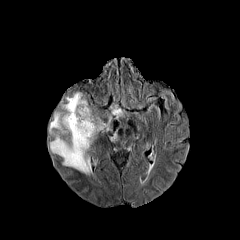
FLAIR MRI.
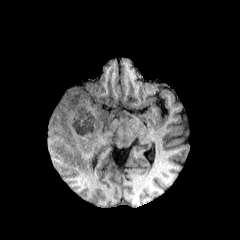
T1-weighted MR.
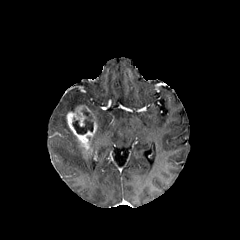
Post-contrast T1-weighted MR.
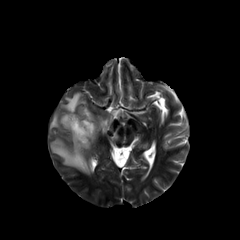
Same slice, T2-weighted MR.
240x240 px.
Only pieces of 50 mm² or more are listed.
enhancing tumor: [x1=66, y1=105, x2=97, y2=152] | necrotic tumor core: [x1=72, y1=109, x2=93, y2=134] | peritumoral edema: [x1=50, y1=92, x2=92, y2=174], [x1=91, y1=117, x2=106, y2=142]